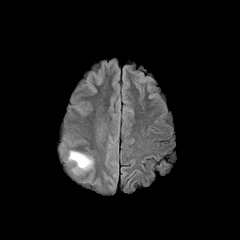
FLAIR magnetic resonance.
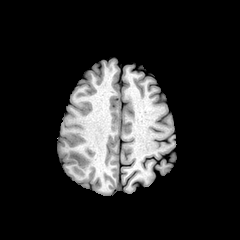
T1-weighted MR image.
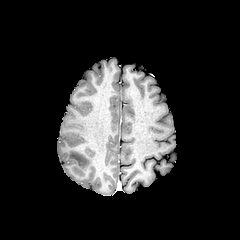
Same slice, post-contrast T1-weighted MR image.
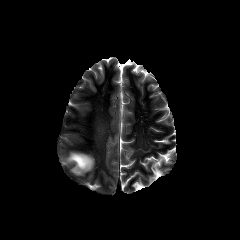
Same slice, T2-weighted MRI.
Axial slice. Head. Image size 240x240.
- peritumoral edema: bbox=[68, 151, 92, 172]